Slice 105 of 155, Brain
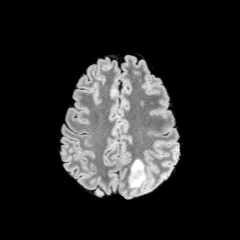
FLAIR MR image.
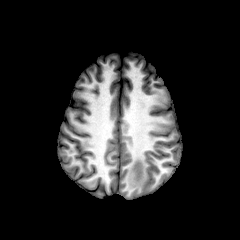
T1-weighted magnetic resonance of the same slice.
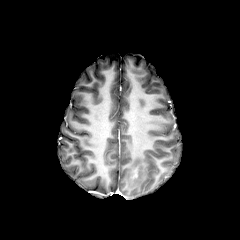
Post-contrast T1-weighted MR.
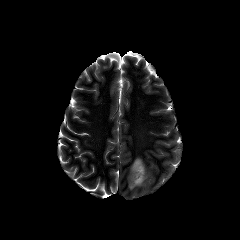
T2-weighted MRI.
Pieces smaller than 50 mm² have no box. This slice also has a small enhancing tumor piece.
Annotated regions:
* peritumoral edema: rect(129, 159, 147, 188)